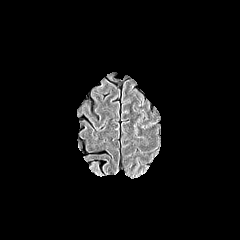
FLAIR MRI.
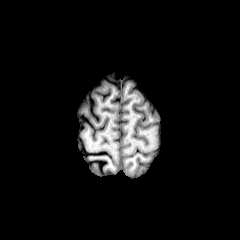
T1-weighted magnetic resonance of the same slice.
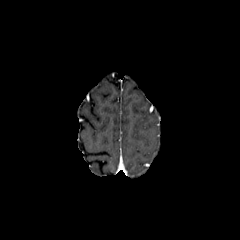
Post-contrast T1-weighted MR image of the same slice.
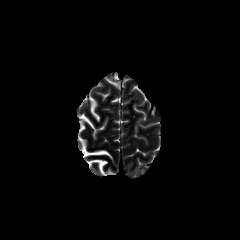
Same slice, T2-weighted MRI.
Axial plane
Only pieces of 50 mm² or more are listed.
The largest peritumoral edema region appears at box(132, 105, 146, 133).